FLAIR MRI.
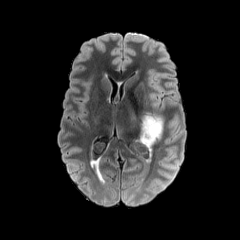
T1-weighted MR.
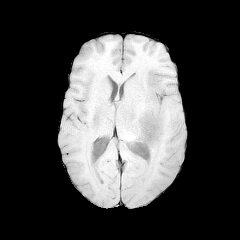
Post-contrast T1-weighted MR.
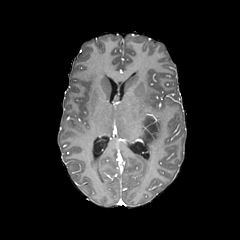
T2-weighted MRI.
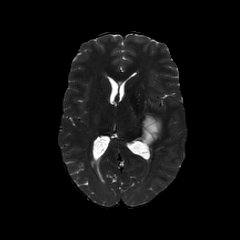
240x240 px | Head
Findings:
* peritumoral edema: (left=141, top=113, right=162, bottom=147)